Head, Image size 240x240
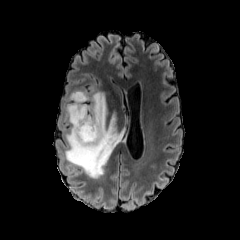
FLAIR MRI.
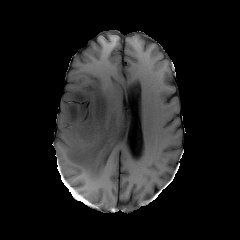
T1-weighted MR of the same slice.
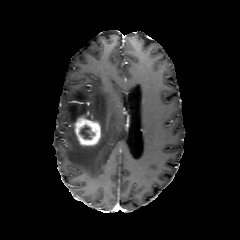
Post-contrast T1-weighted MR image.
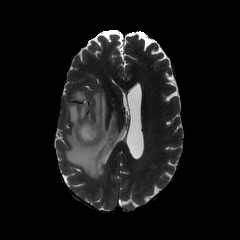
T2-weighted magnetic resonance.
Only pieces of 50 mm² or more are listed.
The enhancing tumor is bounded by bbox=[74, 115, 101, 146]. The largest necrotic tumor core region lies within bbox=[80, 125, 91, 139]. The peritumoral edema is at bbox=[65, 90, 125, 178].